Slice index 85
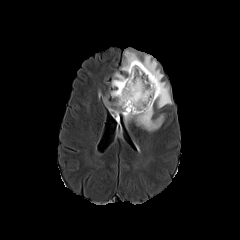
FLAIR MR.
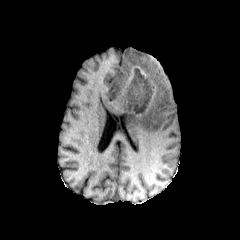
T1-weighted MR image of the same slice.
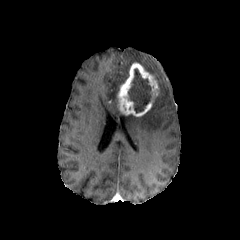
Same slice, post-contrast T1-weighted MR image.
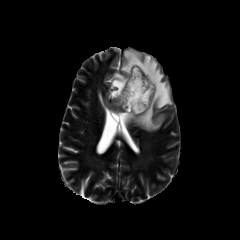
T2-weighted magnetic resonance.
necrotic tumor core: bounding box (x1=128, y1=69, x2=151, y2=112)
enhancing tumor: bounding box (x1=117, y1=62, x2=159, y2=116)
peritumoral edema: bounding box (x1=120, y1=49, x2=172, y2=131), (x1=104, y1=72, x2=127, y2=114)